Slice index 67, Axial slice
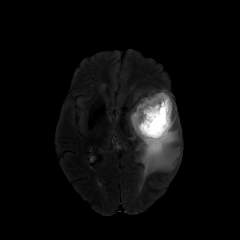
FLAIR magnetic resonance.
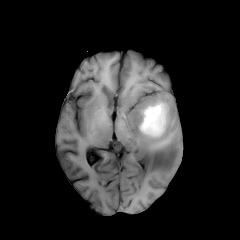
T1-weighted magnetic resonance of the same slice.
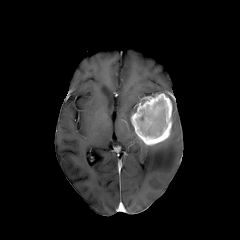
Post-contrast T1-weighted MRI.
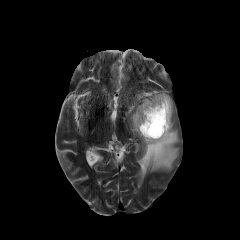
T2-weighted MR image.
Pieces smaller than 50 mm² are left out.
<segmentation>
  <peritumoral_edema>(x1=136, y1=89, x2=179, y2=179), (x1=129, y1=99, x2=140, y2=137)</peritumoral_edema>
  <enhancing_tumor>(x1=131, y1=93, x2=172, y2=145)</enhancing_tumor>
  <necrotic_tumor_core>(x1=159, y1=110, x2=164, y2=122)</necrotic_tumor_core>
</segmentation>